Slice 44/155 | Brain
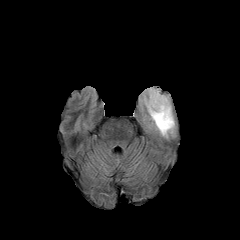
FLAIR MR.
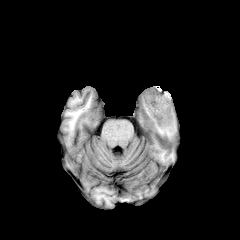
Same slice, T1-weighted MR.
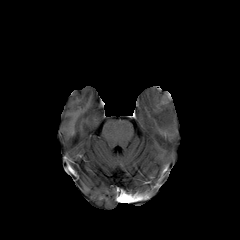
Post-contrast T1-weighted MR.
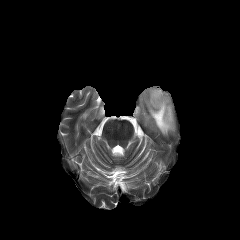
T2-weighted MR of the same slice.
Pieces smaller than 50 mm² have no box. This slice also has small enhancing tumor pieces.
The peritumoral edema is bounded by [140, 87, 174, 136].